Brain, Axial view, 240x240 px, Image width 240 mm
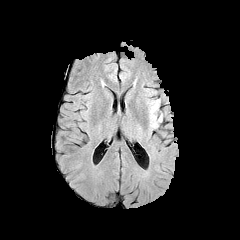
FLAIR MRI.
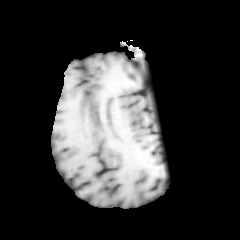
T1-weighted MR image.
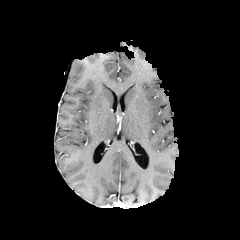
Post-contrast T1-weighted magnetic resonance.
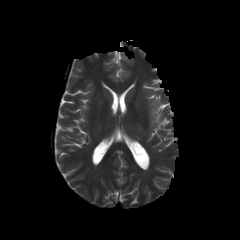
T2-weighted magnetic resonance.
peritumoral_edema:
  - 150, 102, 157, 125